FLAIR MR image.
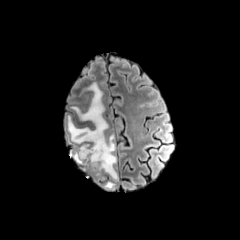
T1-weighted MR image.
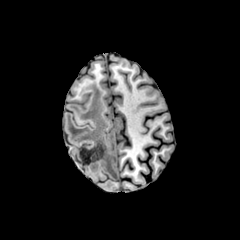
Post-contrast T1-weighted MRI.
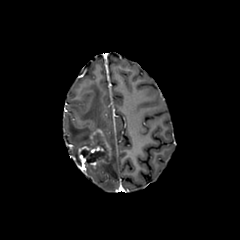
T2-weighted MR.
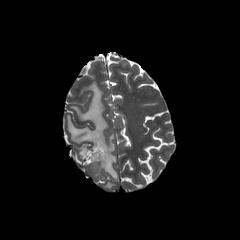
240x240 px; Brain
enhancing_tumor:
  - <box>78,128,111,171</box>
peritumoral_edema:
  - <box>103,181,114,189</box>
  - <box>86,134,118,180</box>
  - <box>68,82,108,164</box>
necrotic_tumor_core:
  - <box>80,133,108,165</box>